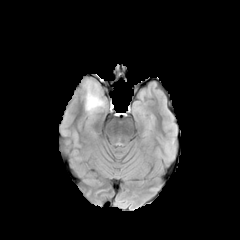
FLAIR MR image.
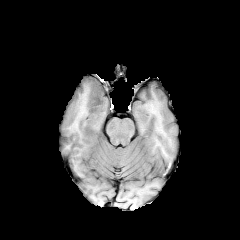
T1-weighted MR.
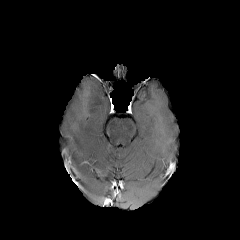
Post-contrast T1-weighted magnetic resonance of the same slice.
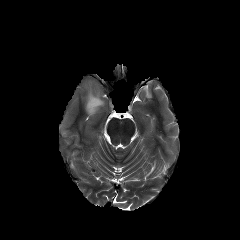
T2-weighted magnetic resonance.
The peritumoral edema is at <bbox>85, 80, 104, 115</bbox>.